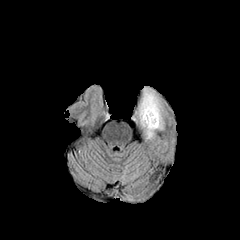
FLAIR MR image.
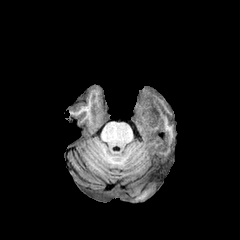
T1-weighted MR image.
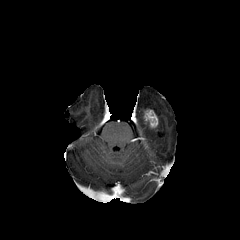
Post-contrast T1-weighted MRI of the same slice.
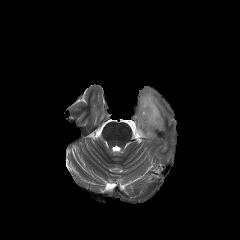
T2-weighted MR.
Segmented structures:
- enhancing tumor: <bbox>144, 109, 158, 127</bbox>
- peritumoral edema: <bbox>138, 88, 164, 138</bbox>